FLAIR MR image.
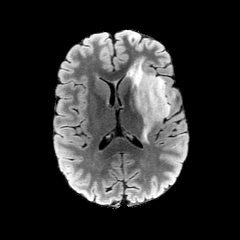
T1-weighted MR.
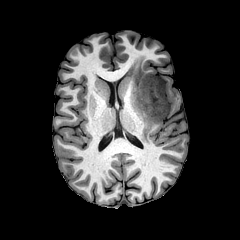
Post-contrast T1-weighted MRI.
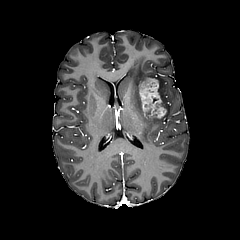
T2-weighted magnetic resonance.
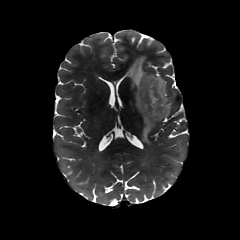
240x240 px. Axial plane.
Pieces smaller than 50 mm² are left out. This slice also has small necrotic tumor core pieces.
The peritumoral edema is at x1=127 y1=59 x2=171 y2=142. The enhancing tumor is bounded by x1=139 y1=78 x2=166 y2=119.